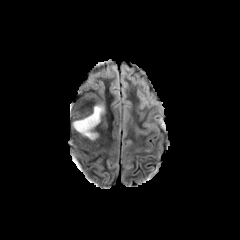
FLAIR MR image.
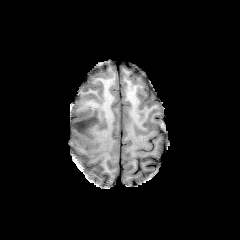
T1-weighted MR image.
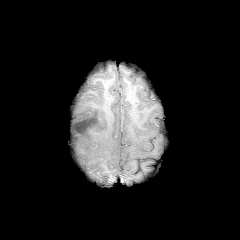
Same slice, post-contrast T1-weighted MR.
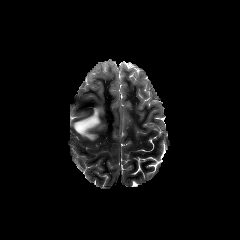
T2-weighted magnetic resonance.
Brain, Axial plane
Segmented structures:
* enhancing tumor: {"x1": 83, "y1": 120, "x2": 100, "y2": 140}
* peritumoral edema: {"x1": 72, "y1": 105, "x2": 104, "y2": 136}